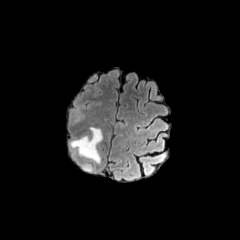
FLAIR MR image.
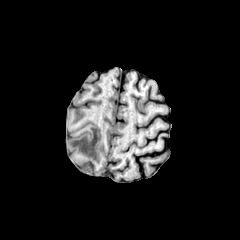
T1-weighted MR.
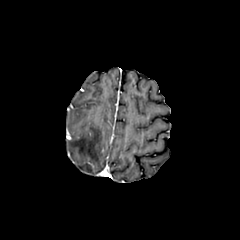
Post-contrast T1-weighted MRI of the same slice.
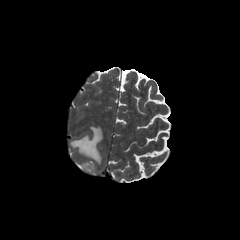
T2-weighted MR.
peritumoral_edema:
  - 82:165:92:171
  - 70:127:102:163